Slice 95/155; Axial plane; Brain; Image covers 240 mm x 240 mm
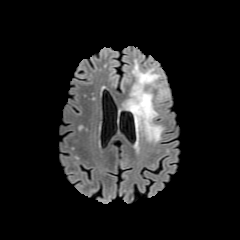
FLAIR MR.
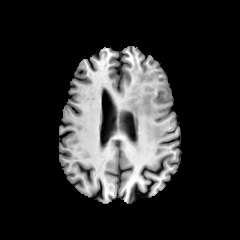
Same slice, T1-weighted magnetic resonance.
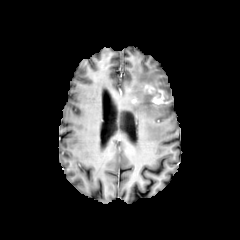
Post-contrast T1-weighted MR.
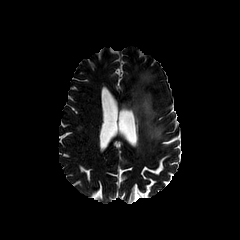
Same slice, T2-weighted MRI.
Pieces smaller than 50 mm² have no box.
enhancing_tumor:
  - (x1=132, y1=96, x2=138, y2=106)
  - (x1=152, y1=89, x2=164, y2=104)
  - (x1=143, y1=82, x2=154, y2=94)
peritumoral_edema:
  - (x1=122, y1=63, x2=163, y2=142)